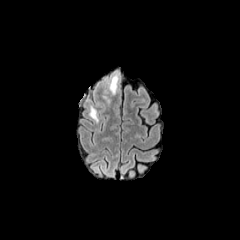
FLAIR MR image.
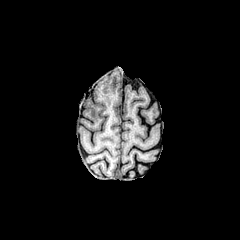
T1-weighted MRI of the same slice.
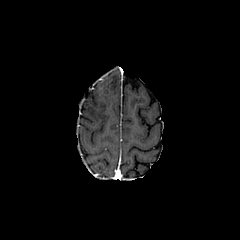
Post-contrast T1-weighted MRI.
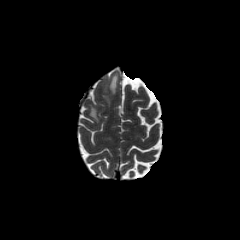
T2-weighted MRI of the same slice.
Head
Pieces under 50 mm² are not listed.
The 2 largest peritumoral edema regions are located at bbox(89, 106, 98, 122); bbox(109, 74, 118, 94).